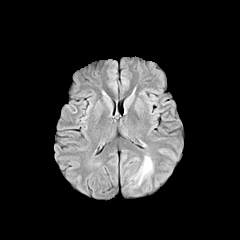
FLAIR MR.
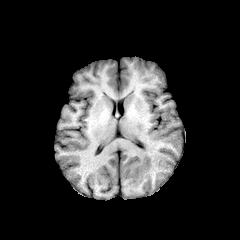
T1-weighted magnetic resonance of the same slice.
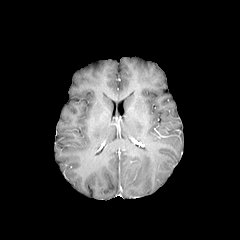
Same slice, post-contrast T1-weighted MR image.
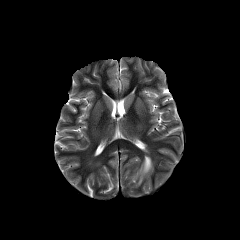
Same slice, T2-weighted MR.
Brain.
peritumoral edema = 135, 156, 152, 184